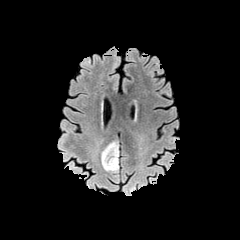
FLAIR MR.
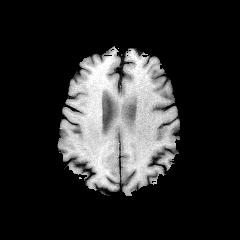
T1-weighted MR image.
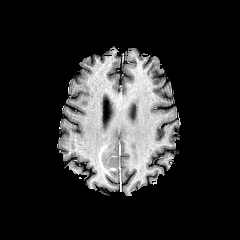
Post-contrast T1-weighted MR image.
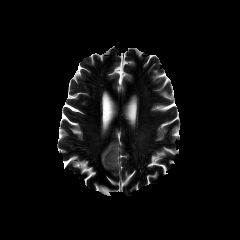
Same slice, T2-weighted MRI.
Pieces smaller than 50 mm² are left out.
Findings:
* enhancing tumor: (99, 145, 109, 172)
* peritumoral edema: (101, 141, 118, 171)